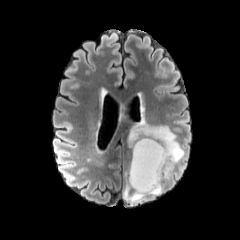
FLAIR MR image.
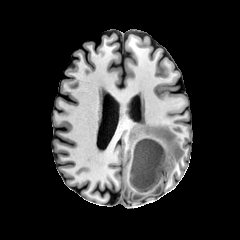
T1-weighted MR.
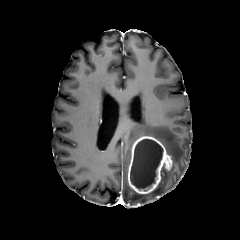
Post-contrast T1-weighted magnetic resonance.
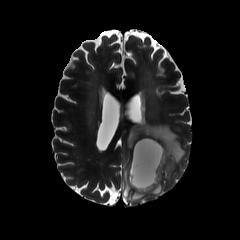
Same slice, T2-weighted MRI.
Head | 240x240 | Axial slice
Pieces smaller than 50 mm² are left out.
peritumoral edema at 123:119:185:204
necrotic tumor core at 130:139:163:188
enhancing tumor at 127:136:172:194